FLAIR MR.
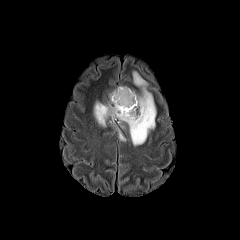
T1-weighted MR.
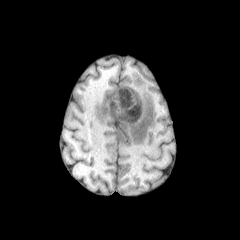
Post-contrast T1-weighted MR.
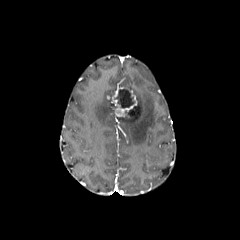
T2-weighted MRI.
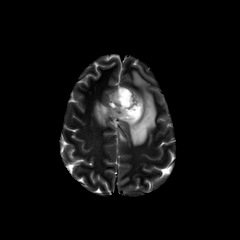
Axial plane.
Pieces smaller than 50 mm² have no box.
peritumoral edema — (x1=119, y1=71, x2=156, y2=145), (x1=94, y1=102, x2=115, y2=126)
enhancing tumor — (x1=111, y1=87, x2=137, y2=122)
necrotic tumor core — (x1=115, y1=89, x2=134, y2=108), (x1=127, y1=105, x2=137, y2=115)